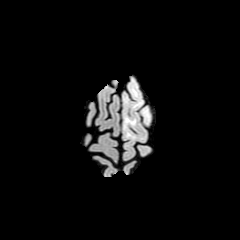
FLAIR MR.
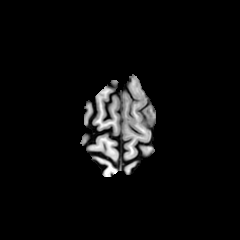
T1-weighted MR of the same slice.
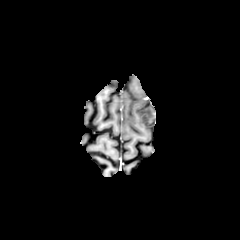
Same slice, post-contrast T1-weighted MR image.
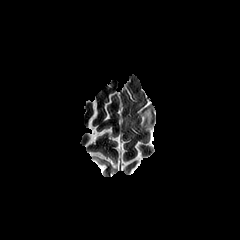
T2-weighted MR of the same slice.
Axial plane
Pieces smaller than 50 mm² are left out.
Segmented structures:
• peritumoral edema: <box>142,108,150,123</box>, <box>125,117,135,125</box>